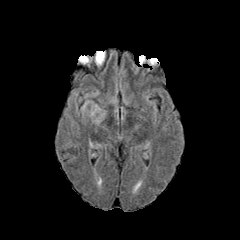
FLAIR MR image.
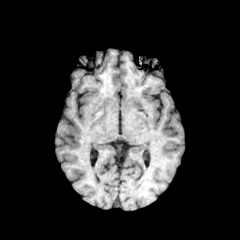
T1-weighted MR image of the same slice.
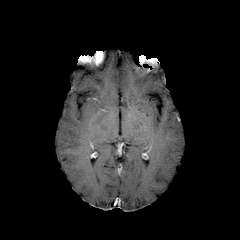
Post-contrast T1-weighted MR image of the same slice.
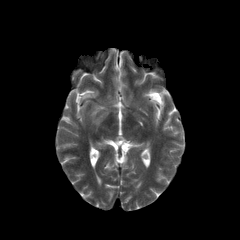
T2-weighted magnetic resonance of the same slice.
Axial slice. Head. 240x240.
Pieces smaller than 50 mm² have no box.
{
  "peritumoral_edema": [
    "81:91:106:125"
  ]
}